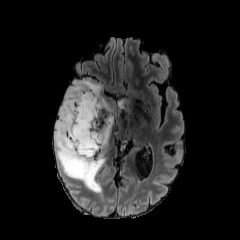
FLAIR MR.
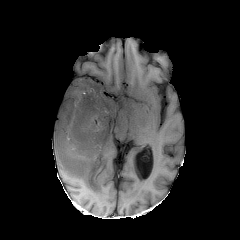
T1-weighted MRI.
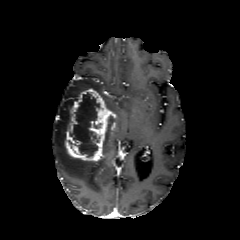
Post-contrast T1-weighted MR of the same slice.
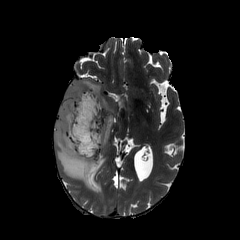
Same slice, T2-weighted MR.
240x240 | Axial view
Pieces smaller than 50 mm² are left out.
{"enhancing_tumor": ["bbox(64, 88, 116, 161)"], "necrotic_tumor_core": ["bbox(70, 92, 99, 156)"], "peritumoral_edema": ["bbox(118, 98, 125, 108)", "bbox(54, 80, 105, 193)", "bbox(103, 116, 112, 155)"]}